FLAIR MR image.
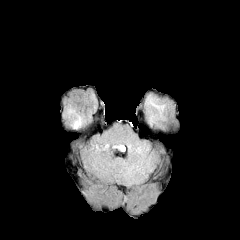
T1-weighted MR image.
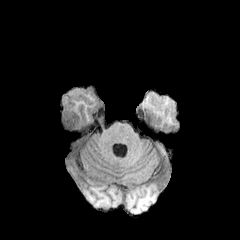
Post-contrast T1-weighted MR image.
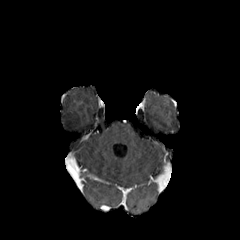
T2-weighted MR image.
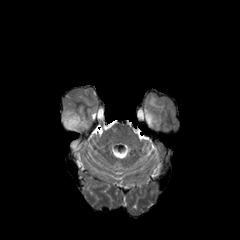
Head; Axial plane
Segmented structures:
* peritumoral edema: box=[63, 107, 81, 127]; box=[151, 102, 165, 117]; box=[145, 108, 157, 119]